Axial slice; Slice 73 of 155; 240x240; Head; Image covers 240 mm x 240 mm
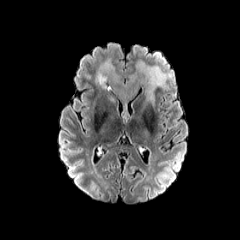
FLAIR magnetic resonance.
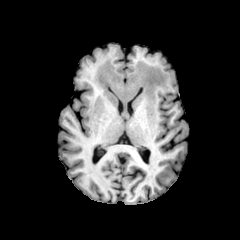
T1-weighted MR image of the same slice.
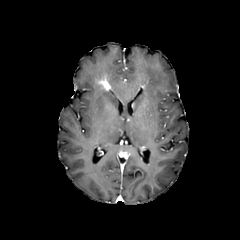
Post-contrast T1-weighted MR image.
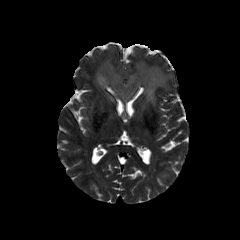
T2-weighted MRI of the same slice.
Findings:
* enhancing tumor: <box>97,75,111,90</box>
* peritumoral edema: <box>95,60,172,103</box>